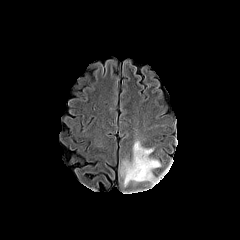
FLAIR MRI.
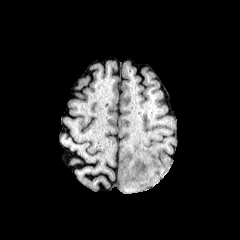
T1-weighted MR image of the same slice.
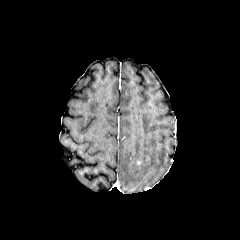
Post-contrast T1-weighted MR image of the same slice.
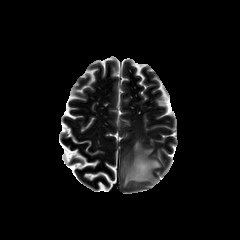
Same slice, T2-weighted MR.
240x240 px; Brain
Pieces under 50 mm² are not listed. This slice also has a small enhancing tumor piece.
The peritumoral edema lies within [120,140,160,186].